Image size 240x240. Head.
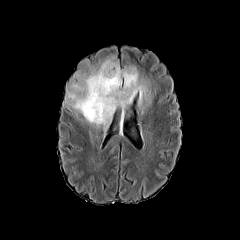
FLAIR MR image.
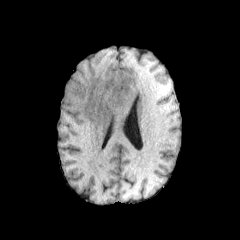
T1-weighted MR of the same slice.
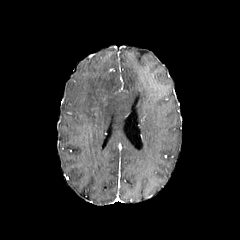
Post-contrast T1-weighted MRI.
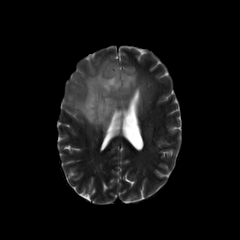
T2-weighted MRI.
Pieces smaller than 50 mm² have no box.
The largest peritumoral edema region appears at bbox=[65, 59, 152, 128].